FLAIR MR.
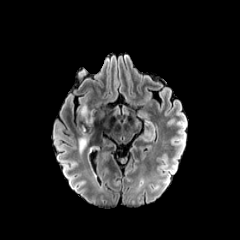
T1-weighted MRI.
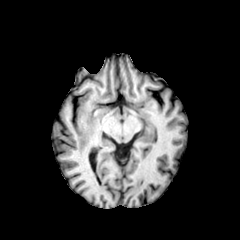
Post-contrast T1-weighted MRI.
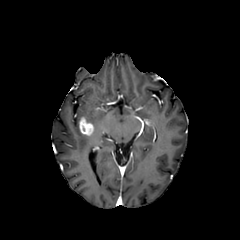
T2-weighted MRI.
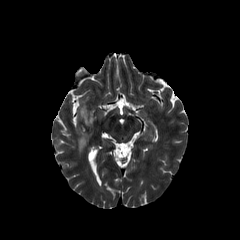
{"enhancing_tumor": ["<bbox>79, 117, 94, 136</bbox>"], "peritumoral_edema": ["<bbox>78, 134, 89, 151</bbox>", "<bbox>80, 104, 95, 122</bbox>"]}